FLAIR MRI.
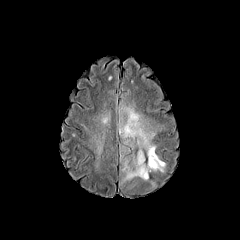
T1-weighted MRI.
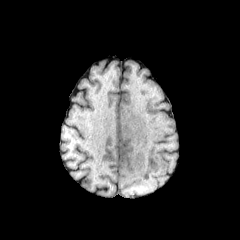
Post-contrast T1-weighted MRI.
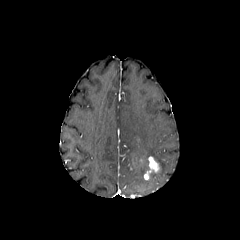
T2-weighted MR.
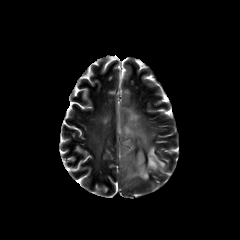
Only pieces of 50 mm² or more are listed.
The largest enhancing tumor region is at box(144, 156, 159, 179). 2 peritumoral edema regions are located at box(88, 100, 110, 170); box(118, 93, 167, 186).